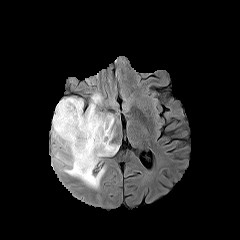
FLAIR MR image.
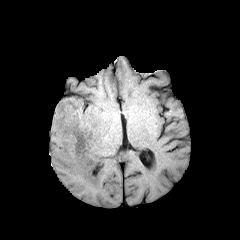
T1-weighted MRI of the same slice.
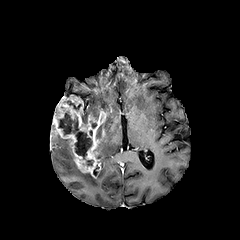
Post-contrast T1-weighted MR image of the same slice.
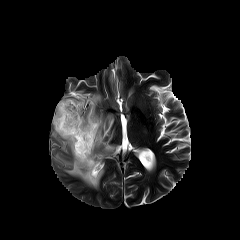
Same slice, T2-weighted magnetic resonance.
240x240 | Brain
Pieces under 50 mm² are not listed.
Segmented structures:
* enhancing tumor: rect(52, 96, 106, 177)
* necrotic tumor core: rect(66, 100, 81, 110); rect(58, 111, 92, 159)
* peritumoral edema: rect(81, 93, 101, 123); rect(96, 114, 118, 159); rect(53, 135, 104, 188)